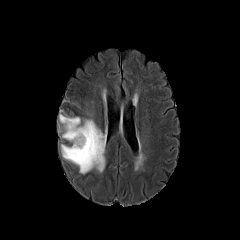
FLAIR MRI.
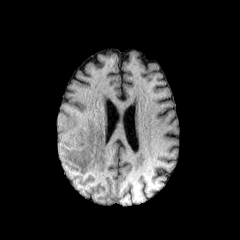
T1-weighted MRI of the same slice.
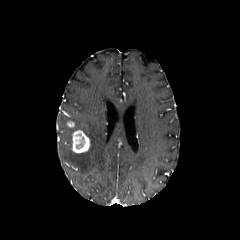
Same slice, post-contrast T1-weighted magnetic resonance.
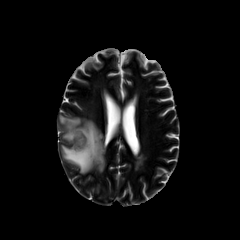
Same slice, T2-weighted magnetic resonance.
Head; Image size 240x240
peritumoral edema: bounding box 59 114 105 174
enhancing tumor: bounding box 72 130 90 153, 66 120 75 128